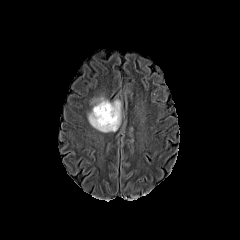
FLAIR MR.
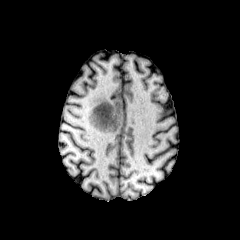
T1-weighted magnetic resonance.
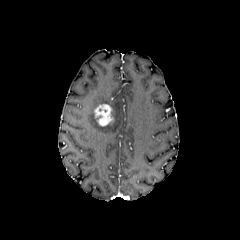
Post-contrast T1-weighted MRI.
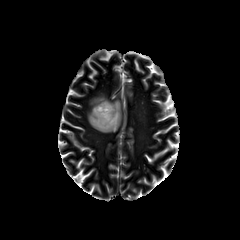
Same slice, T2-weighted magnetic resonance.
Brain, Axial view
enhancing tumor = 94 103 113 126
peritumoral edema = 88 96 121 132